240x240; Slice index 51; Axial slice; Head
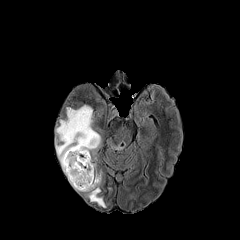
FLAIR magnetic resonance.
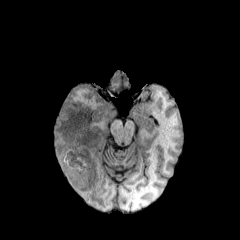
T1-weighted MRI.
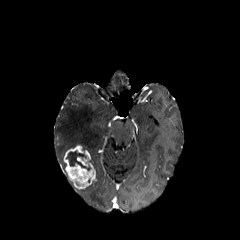
Post-contrast T1-weighted magnetic resonance.
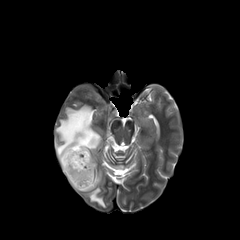
Same slice, T2-weighted MRI.
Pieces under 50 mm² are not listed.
<segmentation>
  <necrotic_tumor_core>box(66, 150, 90, 170)</necrotic_tumor_core>
  <enhancing_tumor>box(63, 145, 96, 189)</enhancing_tumor>
  <peritumoral_edema>box(77, 172, 105, 207); box(55, 105, 101, 171)</peritumoral_edema>
</segmentation>